Axial view. Brain. 240x240.
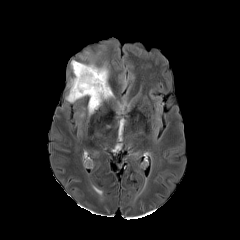
FLAIR magnetic resonance.
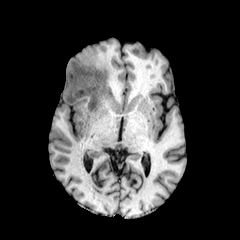
T1-weighted MRI of the same slice.
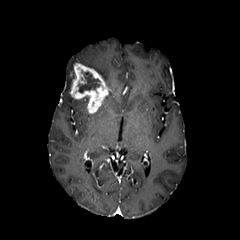
Post-contrast T1-weighted MR.
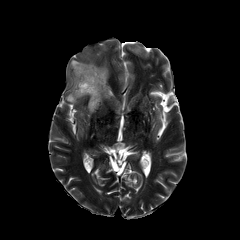
Same slice, T2-weighted magnetic resonance.
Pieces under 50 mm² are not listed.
The necrotic tumor core is located at box=[79, 72, 99, 92]. The enhancing tumor appears at box=[70, 63, 110, 113]. The 2 largest peritumoral edema regions are located at box=[66, 91, 76, 102]; box=[81, 62, 109, 87].